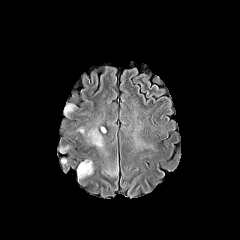
FLAIR magnetic resonance.
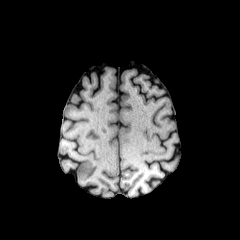
T1-weighted MR of the same slice.
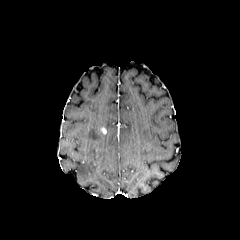
Post-contrast T1-weighted MRI.
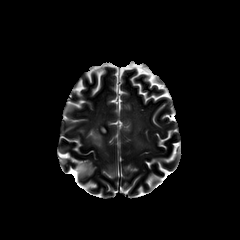
Same slice, T2-weighted MR.
Image size 240x240. Head.
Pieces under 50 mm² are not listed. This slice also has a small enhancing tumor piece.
<segmentation>
  <peritumoral_edema><bbox>65, 104, 73, 113</bbox>, <bbox>89, 129, 102, 147</bbox>, <bbox>77, 160, 92, 177</bbox></peritumoral_edema>
</segmentation>